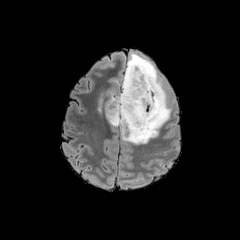
FLAIR MRI.
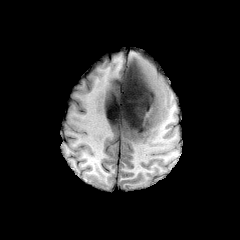
T1-weighted magnetic resonance of the same slice.
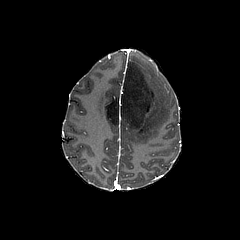
Same slice, post-contrast T1-weighted MR image.
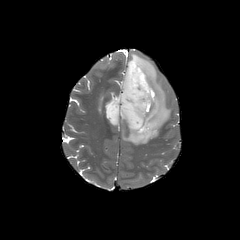
Same slice, T2-weighted MRI.
Axial plane
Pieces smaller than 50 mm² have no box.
The 2 largest peritumoral edema regions are located at bbox(109, 81, 121, 99); bbox(121, 53, 171, 144). The necrotic tumor core lies within bbox(106, 60, 153, 132).